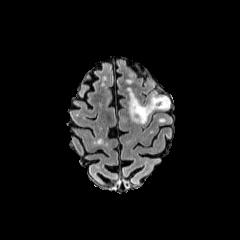
FLAIR magnetic resonance.
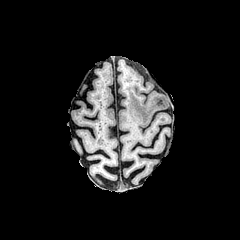
T1-weighted MR image of the same slice.
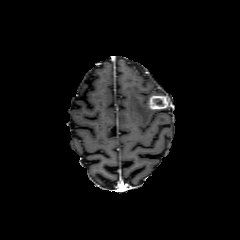
Post-contrast T1-weighted MRI of the same slice.
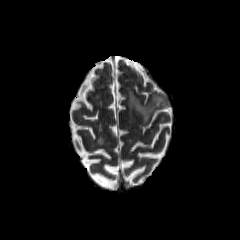
T2-weighted MR image of the same slice.
Axial slice; Brain
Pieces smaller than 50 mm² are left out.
The largest peritumoral edema region is located at (left=128, top=89, right=155, bottom=123). The necrotic tumor core appears at (left=152, top=98, right=164, bottom=105). The enhancing tumor is at (left=148, top=95, right=169, bottom=109).